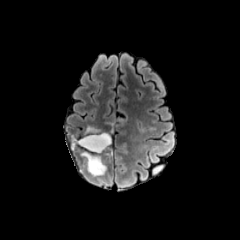
FLAIR MR image.
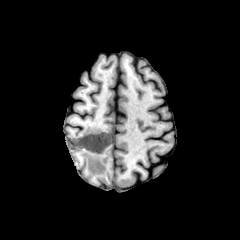
T1-weighted MRI.
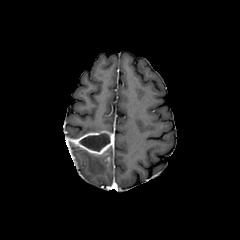
Post-contrast T1-weighted magnetic resonance.
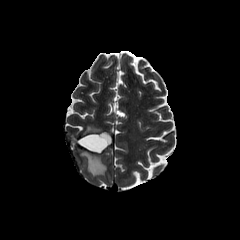
Same slice, T2-weighted MR image.
Brain
necrotic_tumor_core:
  - (80,133,110,151)
enhancing_tumor:
  - (74,131,113,154)
peritumoral_edema:
  - (84,126,100,134)
  - (81,151,106,175)